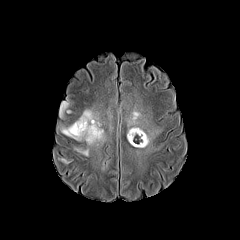
FLAIR magnetic resonance.
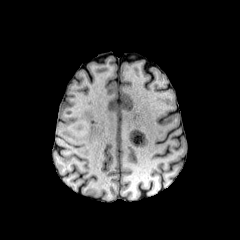
T1-weighted MR of the same slice.
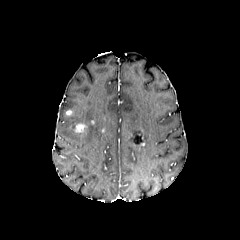
Post-contrast T1-weighted MR image.
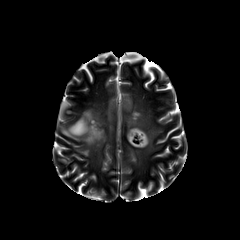
T2-weighted magnetic resonance.
Axial plane | Head
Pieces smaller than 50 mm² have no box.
Annotated regions:
• peritumoral edema: <bbox>76, 149, 88, 155</bbox>, <bbox>61, 109, 105, 145</bbox>, <bbox>127, 126, 151, 147</bbox>, <bbox>128, 111, 140, 125</bbox>, <bbox>60, 102, 69, 116</bbox>
• necrotic tumor core: <bbox>134, 136, 142, 143</bbox>
• enhancing tumor: <bbox>129, 133, 144, 145</bbox>, <bbox>73, 122, 86, 133</bbox>